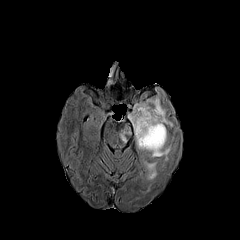
FLAIR magnetic resonance.
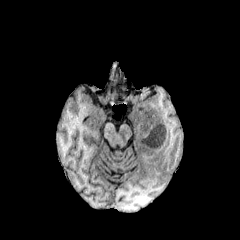
T1-weighted magnetic resonance.
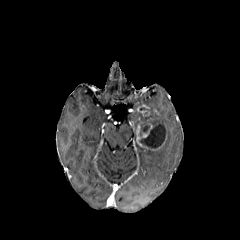
Same slice, post-contrast T1-weighted MR image.
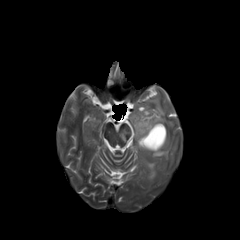
T2-weighted magnetic resonance.
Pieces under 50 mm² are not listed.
peritumoral edema at bbox(137, 142, 170, 160); bbox(144, 161, 157, 181); bbox(128, 96, 173, 135); bbox(120, 123, 131, 143)
enhancing tumor at bbox(136, 125, 148, 149)
necrotic tumor core at bbox(136, 107, 166, 148)